Slice index 102, 240x240, Brain
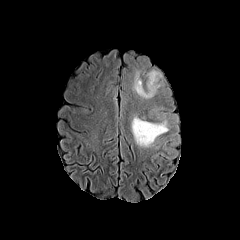
FLAIR MR.
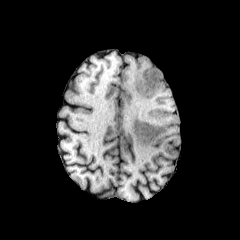
T1-weighted MRI.
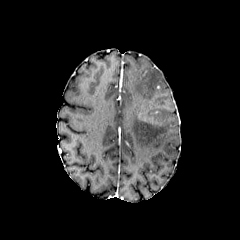
Same slice, post-contrast T1-weighted MRI.
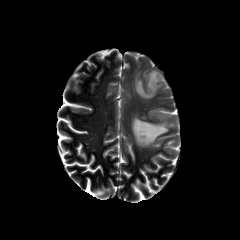
T2-weighted MRI.
peritumoral edema = left=133, top=70, right=162, bottom=98; left=131, top=115, right=168, bottom=147